Brain; Slice 115/155
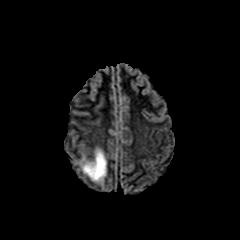
FLAIR MRI.
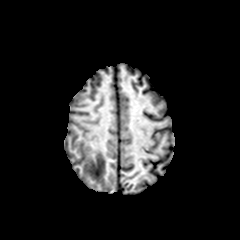
T1-weighted MRI of the same slice.
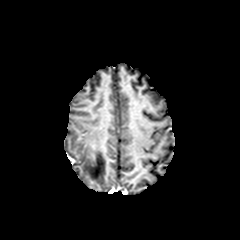
Post-contrast T1-weighted MRI.
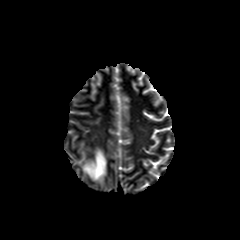
T2-weighted MRI.
{
  "peritumoral_edema": [
    "81,149,106,183"
  ]
}